Brain. 240x240 px. Slice index 68. Axial slice.
FLAIR MRI.
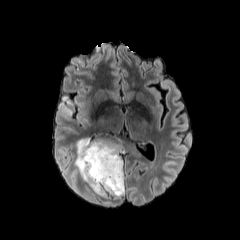
T1-weighted MR image.
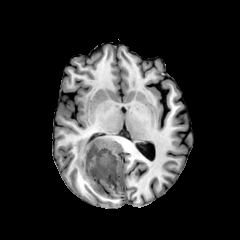
Post-contrast T1-weighted MR.
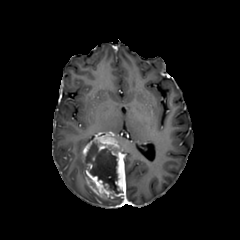
T2-weighted MR image.
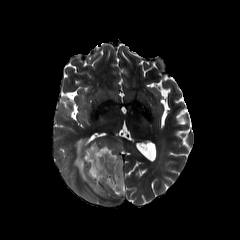
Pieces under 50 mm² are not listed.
* enhancing tumor: [82,133,125,198]
* necrotic tumor core: [85,142,122,193]
* peritumoral edema: [74,139,90,181], [63,96,73,105], [89,191,98,202], [60,103,71,114]